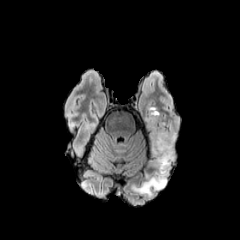
FLAIR MRI.
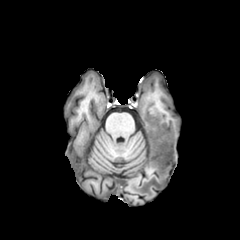
Same slice, T1-weighted MR.
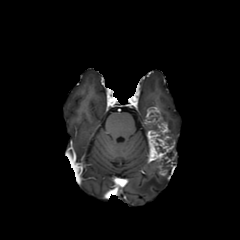
Post-contrast T1-weighted MR.
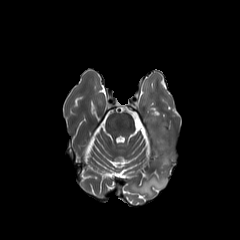
T2-weighted MR of the same slice.
Brain
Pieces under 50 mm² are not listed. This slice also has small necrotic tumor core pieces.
The 2 largest peritumoral edema regions are located at left=167, top=123, right=176, bottom=142; left=131, top=170, right=167, bottom=196. The enhancing tumor is located at left=145, top=107, right=175, bottom=176.